FLAIR magnetic resonance.
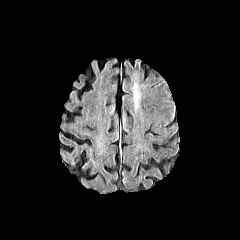
T1-weighted MR image.
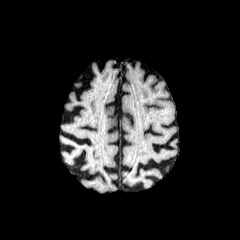
Post-contrast T1-weighted MRI.
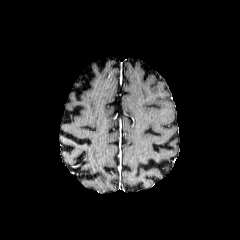
T2-weighted MR image.
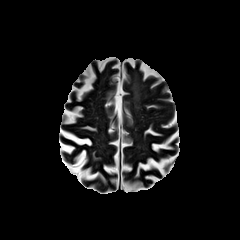
Image size 240x240; Axial plane
peritumoral edema: [133,85,139,108]